Axial view. Brain. Image width 240 mm. 240x240.
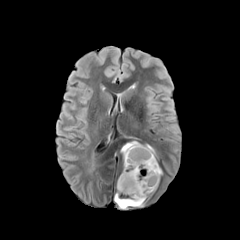
FLAIR MRI.
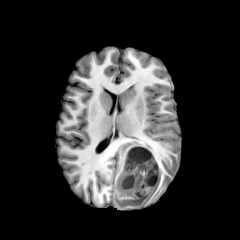
T1-weighted magnetic resonance.
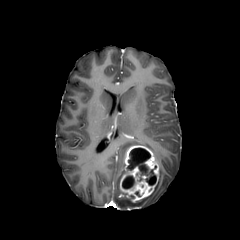
Post-contrast T1-weighted magnetic resonance of the same slice.
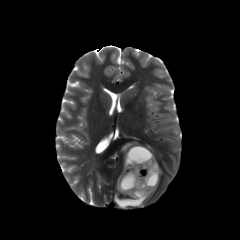
Same slice, T2-weighted MR.
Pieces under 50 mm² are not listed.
enhancing_tumor:
  - bbox=[120, 145, 159, 202]
necrotic_tumor_core:
  - bbox=[122, 176, 134, 188]
  - bbox=[127, 148, 156, 185]
peritumoral_edema:
  - bbox=[114, 170, 146, 208]
  - bbox=[121, 141, 139, 160]